Slice index 68 | Axial slice
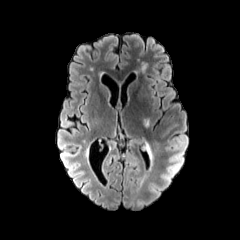
FLAIR MR image.
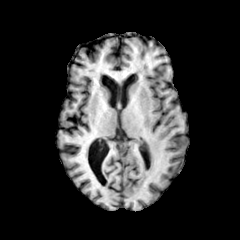
T1-weighted MRI.
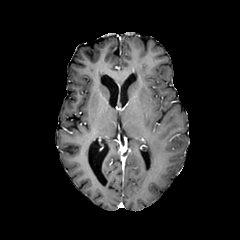
Post-contrast T1-weighted MR image.
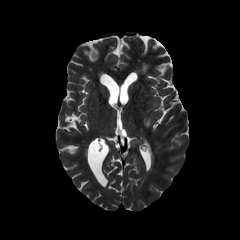
Same slice, T2-weighted MR.
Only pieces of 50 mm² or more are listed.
{"peritumoral_edema": [{"x1": 146, "y1": 140, "x2": 159, "y2": 165}]}